Head; Slice 29 of 155; Axial slice
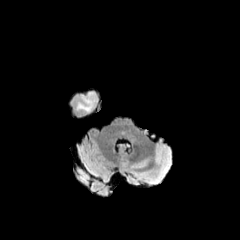
FLAIR magnetic resonance.
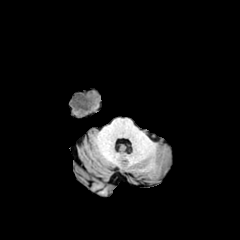
T1-weighted magnetic resonance of the same slice.
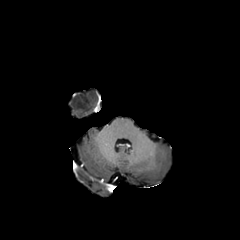
Same slice, post-contrast T1-weighted magnetic resonance.
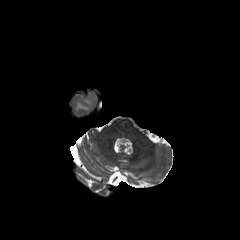
T2-weighted MRI of the same slice.
Findings:
* peritumoral edema: (x1=76, y1=92, x2=97, y2=112)